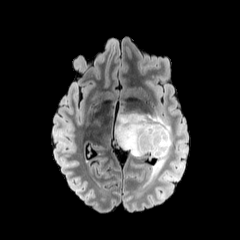
FLAIR magnetic resonance.
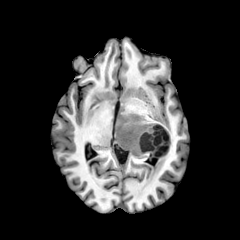
T1-weighted magnetic resonance of the same slice.
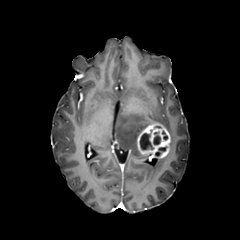
Post-contrast T1-weighted MR of the same slice.
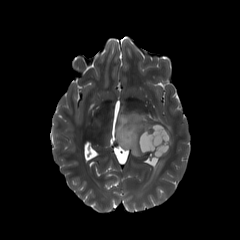
T2-weighted MR image.
Axial plane | Brain | 240x240
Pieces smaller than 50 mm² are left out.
{"enhancing_tumor": ["box(137, 123, 170, 158)"], "necrotic_tumor_core": ["box(155, 147, 166, 156)", "box(153, 132, 160, 144)", "box(140, 133, 153, 150)"], "peritumoral_edema": ["box(115, 112, 173, 157)", "box(145, 153, 168, 184)"]}